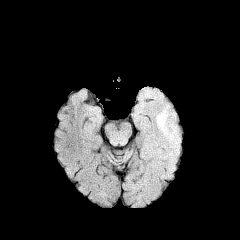
FLAIR MR image.
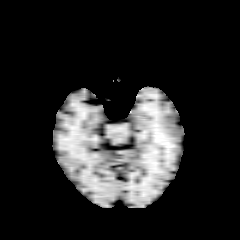
T1-weighted magnetic resonance.
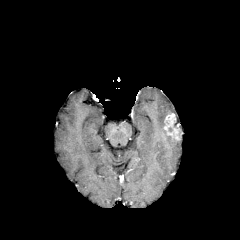
Post-contrast T1-weighted MR image of the same slice.
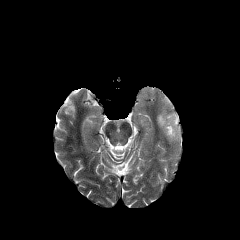
Same slice, T2-weighted magnetic resonance.
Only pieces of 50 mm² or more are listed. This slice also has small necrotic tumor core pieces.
peritumoral_edema:
  - region(156, 110, 179, 148)
enhancing_tumor:
  - region(164, 113, 181, 140)